Brain | Slice 59/155 | 240x240 px
FLAIR magnetic resonance.
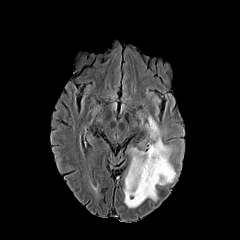
T1-weighted magnetic resonance.
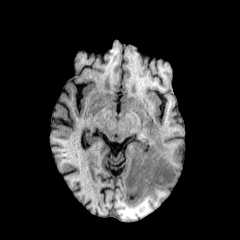
Post-contrast T1-weighted MR image.
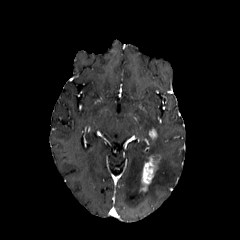
T2-weighted magnetic resonance.
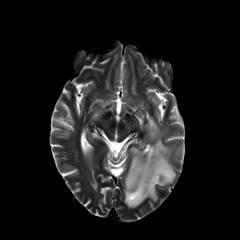
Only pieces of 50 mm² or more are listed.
enhancing_tumor:
  - {"x1": 140, "y1": 155, "x2": 160, "y2": 191}
  - {"x1": 149, "y1": 128, "x2": 157, "y2": 139}
peritumoral_edema:
  - {"x1": 123, "y1": 116, "x2": 176, "y2": 207}